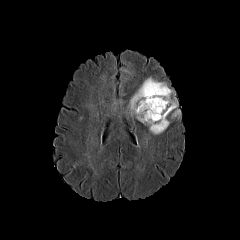
FLAIR magnetic resonance.
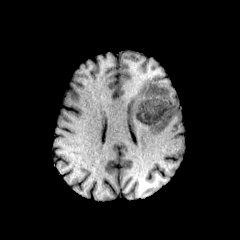
T1-weighted MR of the same slice.
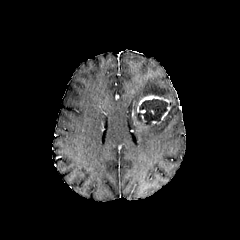
Post-contrast T1-weighted MR image.
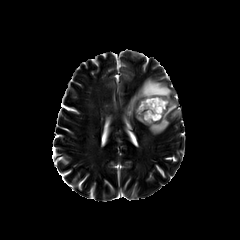
T2-weighted MR image.
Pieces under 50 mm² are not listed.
{
  "peritumoral_edema": [
    "l=128, t=77, r=174, b=122",
    "l=168, t=97, r=180, b=118",
    "l=143, t=116, r=169, b=134"
  ],
  "necrotic_tumor_core": [
    "l=138, t=99, r=167, b=124"
  ],
  "enhancing_tumor": [
    "l=137, t=95, r=174, b=124"
  ]
}